FLAIR magnetic resonance.
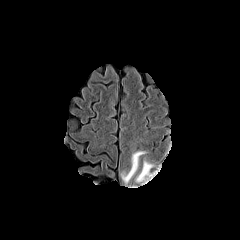
T1-weighted MR.
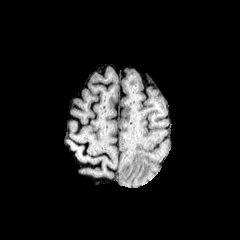
Post-contrast T1-weighted MR image.
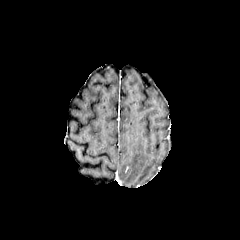
T2-weighted MR.
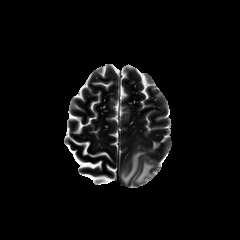
240x240 px. Head.
Annotated regions:
• peritumoral edema: [121,151,144,184], [135,161,155,183]